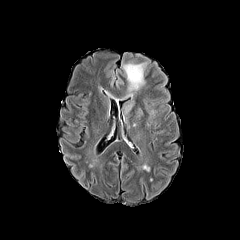
FLAIR MR.
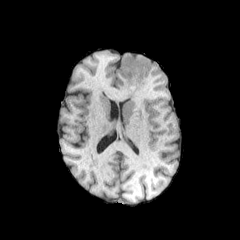
Same slice, T1-weighted magnetic resonance.
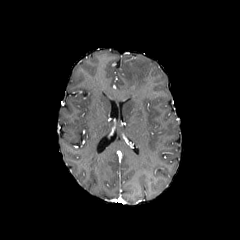
Post-contrast T1-weighted MRI of the same slice.
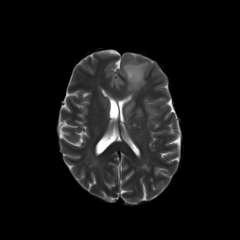
Same slice, T2-weighted magnetic resonance.
Axial view; Brain; Image size 240x240
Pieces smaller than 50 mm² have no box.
The 3 largest peritumoral edema regions are located at (left=134, top=107, right=142, bottom=119), (left=122, top=62, right=147, bottom=91), (left=122, top=99, right=134, bottom=115).